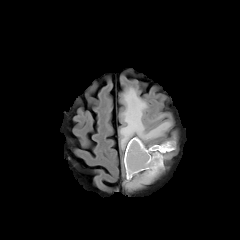
FLAIR MRI.
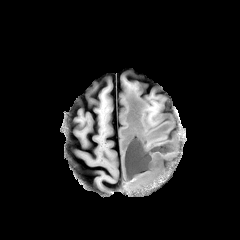
T1-weighted MR.
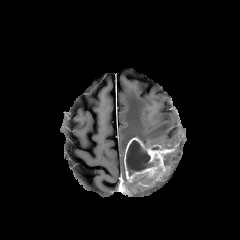
Post-contrast T1-weighted MRI of the same slice.
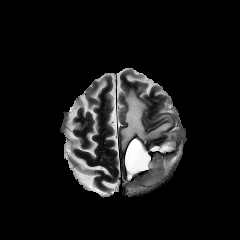
Same slice, T2-weighted MRI.
Brain. Axial plane.
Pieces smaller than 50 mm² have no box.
necrotic tumor core: [126, 140, 154, 175] | enhancing tumor: [124, 137, 175, 182] | peritumoral edema: [120, 89, 171, 149], [126, 175, 155, 188], [161, 140, 175, 146]